Head, Axial plane, 240x240
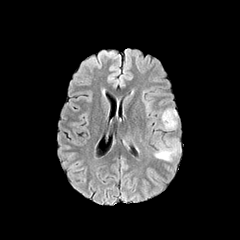
FLAIR MR image.
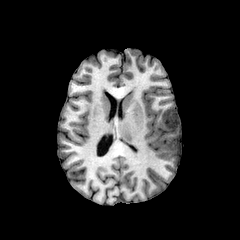
T1-weighted magnetic resonance.
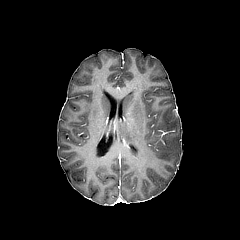
Post-contrast T1-weighted magnetic resonance.
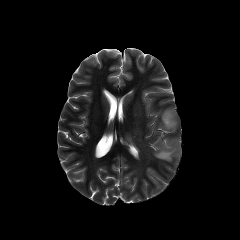
T2-weighted MR image.
{"peritumoral_edema": ["(154, 139, 180, 161)", "(161, 108, 177, 130)"]}